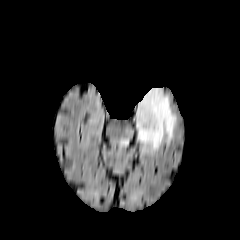
FLAIR magnetic resonance.
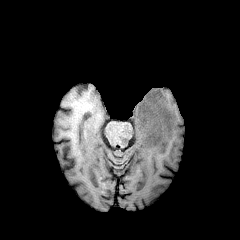
T1-weighted MR.
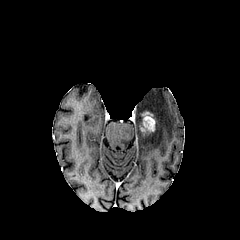
Same slice, post-contrast T1-weighted MRI.
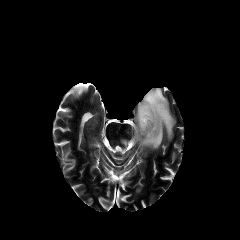
T2-weighted MR.
Brain
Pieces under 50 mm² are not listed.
enhancing tumor at 139:111:155:134
peritumoral edema at 136:88:176:151